FLAIR MRI.
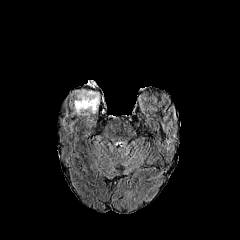
T1-weighted MRI.
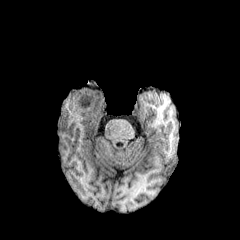
Post-contrast T1-weighted MRI.
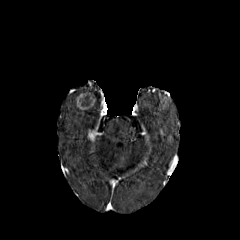
T2-weighted MR image.
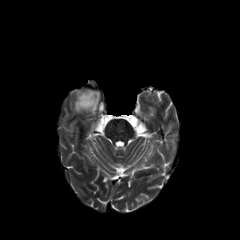
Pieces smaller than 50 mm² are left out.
The necrotic tumor core lies within <box>82,95,92,106</box>. The 2 largest enhancing tumor regions are bounded by <box>76,91,96,110</box>, <box>88,130,94,141</box>. The largest peritumoral edema region lies within <box>67,90,100,114</box>.